Brain. Axial view. 240x240.
FLAIR MRI.
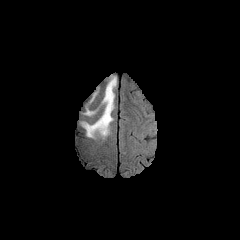
T1-weighted MR image.
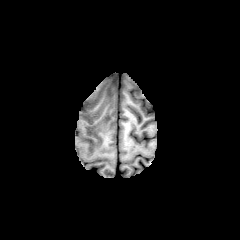
Post-contrast T1-weighted MR.
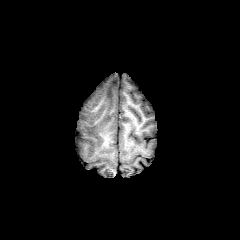
T2-weighted MR image.
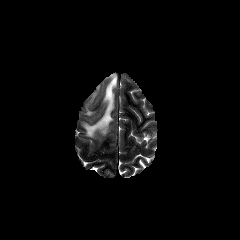
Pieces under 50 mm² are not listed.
peritumoral edema — bbox=[83, 77, 116, 136]